FLAIR MR.
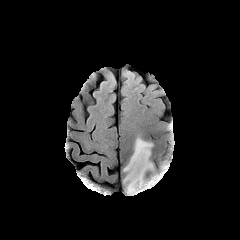
T1-weighted magnetic resonance.
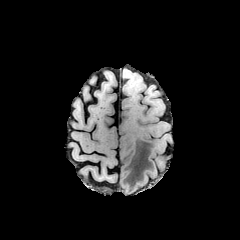
Post-contrast T1-weighted magnetic resonance.
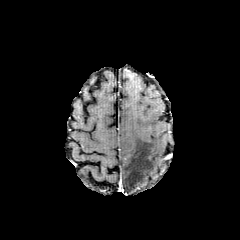
T2-weighted MR image.
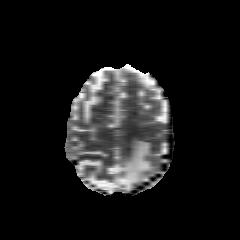
Head.
peritumoral edema — x1=123 y1=138 x2=153 y2=193, x1=145 y1=178 x2=159 y2=188